FLAIR MRI.
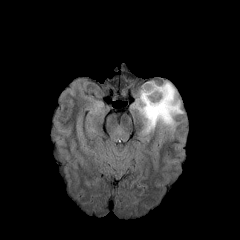
T1-weighted MR image.
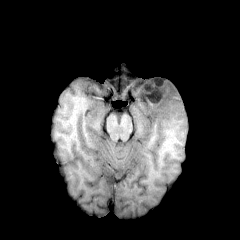
Post-contrast T1-weighted MRI.
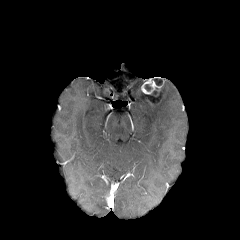
T2-weighted magnetic resonance.
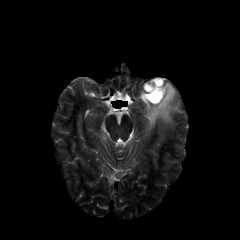
Brain | Axial view
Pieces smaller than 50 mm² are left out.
Annotated regions:
• necrotic tumor core: [146,92,160,102]
• enhancing tumor: [141,80,163,96], [146,81,167,104]
• peritumoral edema: [161,81,165,97], [132,81,183,134]